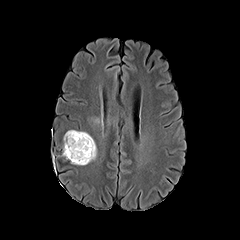
FLAIR MR image.
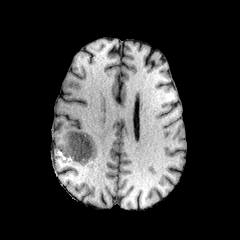
T1-weighted MR.
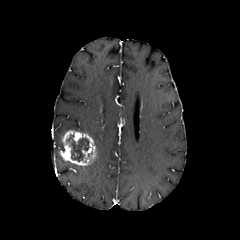
Post-contrast T1-weighted MR.
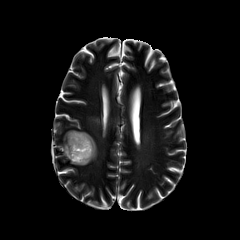
T2-weighted magnetic resonance of the same slice.
240x240 px
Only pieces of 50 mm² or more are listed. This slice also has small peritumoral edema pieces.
enhancing tumor: rect(61, 130, 96, 165)
necrotic tumor core: rect(67, 135, 89, 161)